FLAIR MRI.
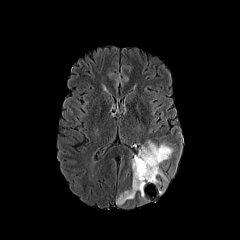
T1-weighted MRI.
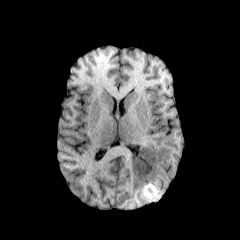
Post-contrast T1-weighted MR.
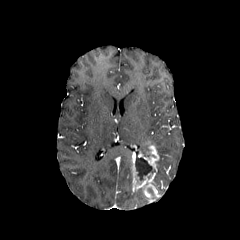
T2-weighted MR image.
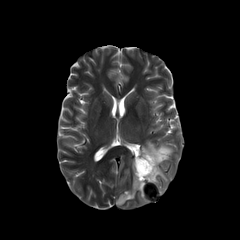
Head | Axial slice
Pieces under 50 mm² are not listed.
The enhancing tumor lies within 132:142:159:192. The largest necrotic tumor core region is bounded by 135:156:155:180. The 2 largest peritumoral edema regions are bounded by 116:190:135:205, 153:143:172:185.